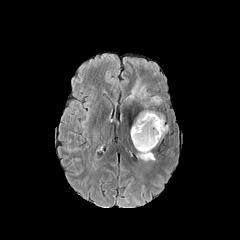
FLAIR MR.
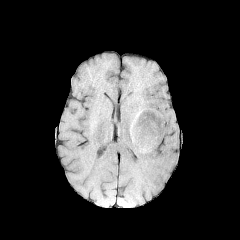
Same slice, T1-weighted magnetic resonance.
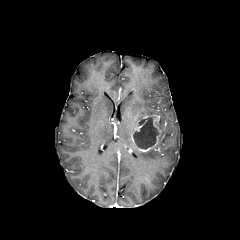
Same slice, post-contrast T1-weighted MRI.
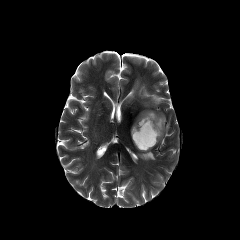
T2-weighted MR.
240x240; Brain
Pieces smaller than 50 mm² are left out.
The largest necrotic tumor core region appears at [x1=133, y1=117, x2=159, y2=149]. The 5 largest peritumoral edema regions are bounded by [x1=137, y1=150, x2=155, y2=160], [x1=136, y1=110, x2=157, y2=122], [x1=159, y1=115, x2=168, y2=139], [x1=137, y1=86, x2=148, y2=98], [x1=151, y1=96, x2=161, y2=103]. 2 enhancing tumor regions appear at [x1=135, y1=114, x2=162, y2=151], [x1=131, y1=120, x2=142, y2=143].